FLAIR MRI.
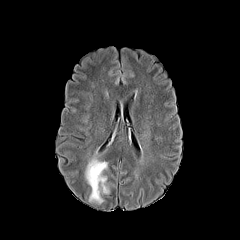
T1-weighted MRI.
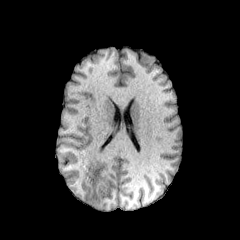
Post-contrast T1-weighted magnetic resonance.
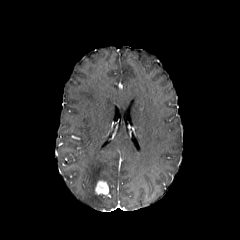
T2-weighted MR.
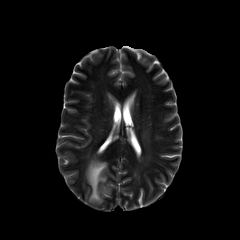
Brain | Axial view
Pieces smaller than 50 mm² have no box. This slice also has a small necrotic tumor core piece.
enhancing_tumor:
  - (left=95, top=180, right=108, bottom=194)
peritumoral_edema:
  - (left=85, top=152, right=107, bottom=204)